FLAIR MR image.
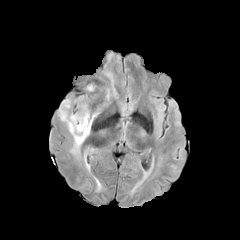
T1-weighted magnetic resonance.
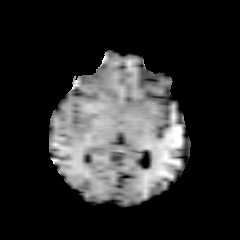
Post-contrast T1-weighted MRI.
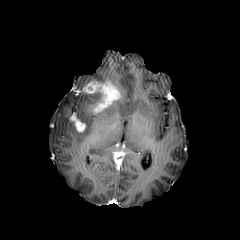
T2-weighted magnetic resonance.
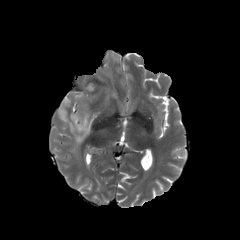
Brain | Image size 240x240
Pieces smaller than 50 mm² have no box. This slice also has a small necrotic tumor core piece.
peritumoral edema: (x1=58, y1=99, x2=96, y2=154) | enhancing tumor: (x1=82, y1=77, x2=119, y2=114), (x1=69, y1=113, x2=86, y2=132)